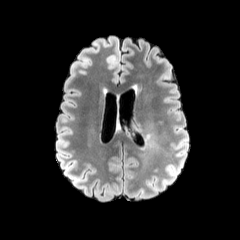
FLAIR magnetic resonance.
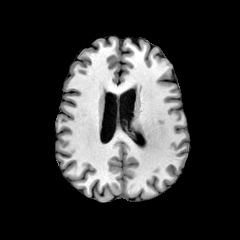
T1-weighted MRI.
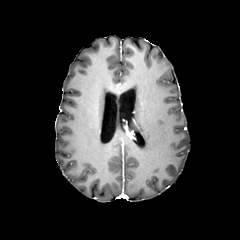
Same slice, post-contrast T1-weighted MR image.
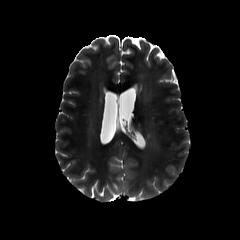
Same slice, T2-weighted MR.
Axial plane
peritumoral edema at rect(134, 127, 156, 148)